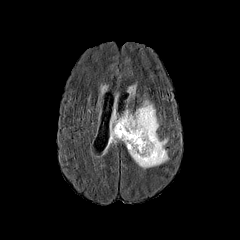
FLAIR MRI.
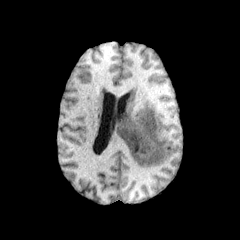
T1-weighted MR.
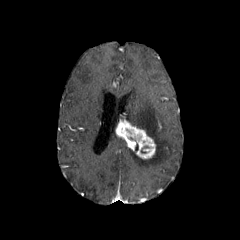
Same slice, post-contrast T1-weighted MR.
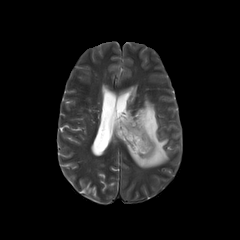
T2-weighted MR image.
Brain; Axial slice
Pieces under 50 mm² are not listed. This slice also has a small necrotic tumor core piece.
Annotated regions:
• enhancing tumor: 115, 118, 156, 159
• peritumoral edema: 108, 115, 121, 145; 122, 100, 168, 168